Head. Image width 240 mm.
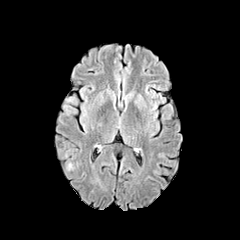
FLAIR MRI.
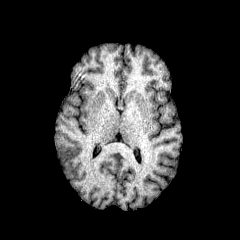
T1-weighted MRI of the same slice.
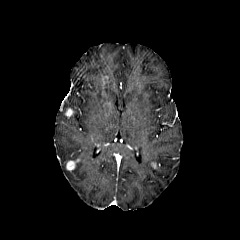
Post-contrast T1-weighted MR image.
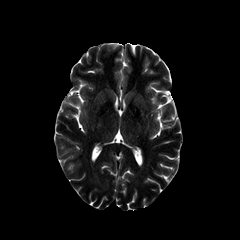
Same slice, T2-weighted MRI.
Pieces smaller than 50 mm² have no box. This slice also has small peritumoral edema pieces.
enhancing_tumor:
  - x1=66 y1=159 x2=79 y2=170
  - x1=65 y1=108 x2=73 y2=117